240x240 px. Axial view. Brain.
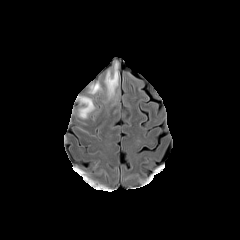
FLAIR magnetic resonance.
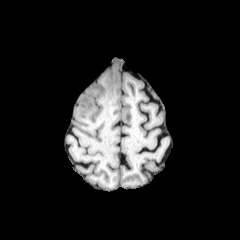
T1-weighted MR image.
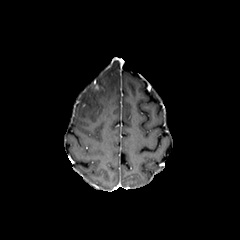
Post-contrast T1-weighted magnetic resonance of the same slice.
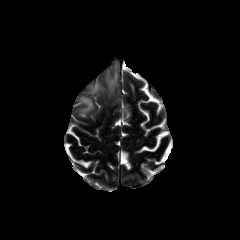
T2-weighted MRI.
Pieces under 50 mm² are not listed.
* peritumoral edema: [78,97,94,118], [89,82,101,93], [104,62,119,98]